FLAIR magnetic resonance.
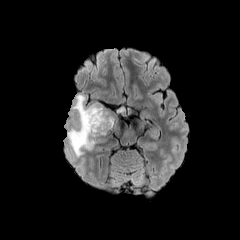
T1-weighted MRI.
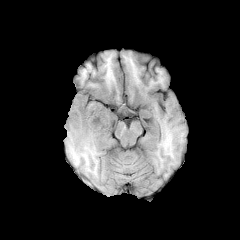
Post-contrast T1-weighted MR image.
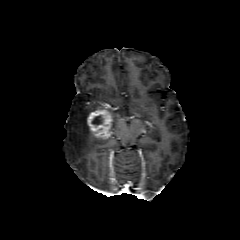
T2-weighted MR image.
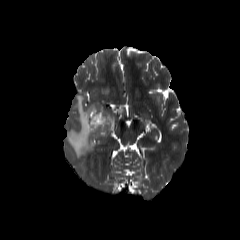
240x240, Brain
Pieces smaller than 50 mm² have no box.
The necrotic tumor core lies within [x1=92, y1=116, x2=101, y2=124]. The enhancing tumor is bounded by [x1=87, y1=107, x2=113, y2=139]. The largest peritumoral edema region appears at [x1=67, y1=94, x2=110, y2=157].